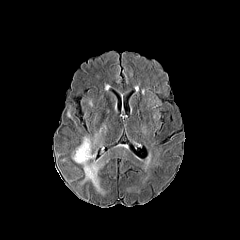
FLAIR MR image.
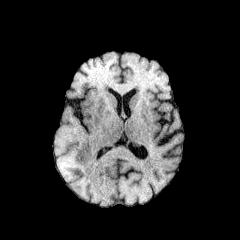
T1-weighted MR image of the same slice.
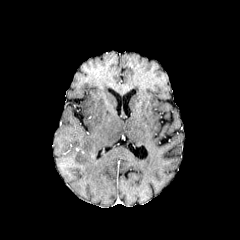
Post-contrast T1-weighted magnetic resonance.
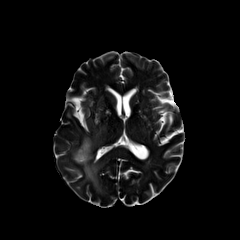
T2-weighted MR.
Brain.
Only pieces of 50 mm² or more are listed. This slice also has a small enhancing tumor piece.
The largest peritumoral edema region is located at box(72, 137, 103, 193).